Axial view
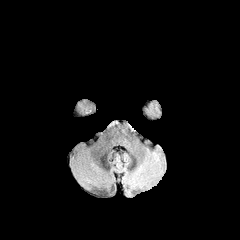
FLAIR MR image.
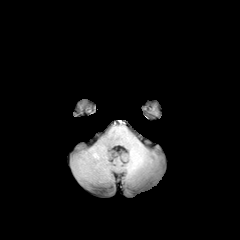
Same slice, T1-weighted magnetic resonance.
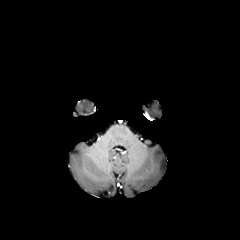
Post-contrast T1-weighted MR image.
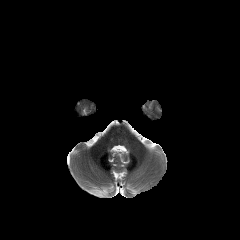
T2-weighted MRI.
<segmentation>
  <peritumoral_edema>76,99,95,115</peritumoral_edema>
</segmentation>